240x240
FLAIR magnetic resonance.
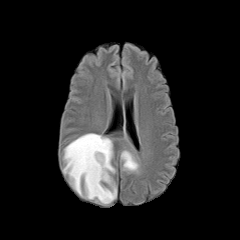
T1-weighted MR image.
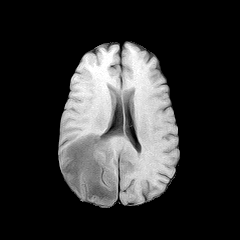
Post-contrast T1-weighted MR.
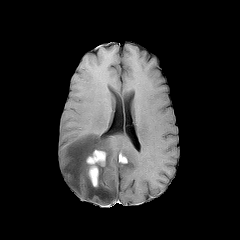
T2-weighted MRI.
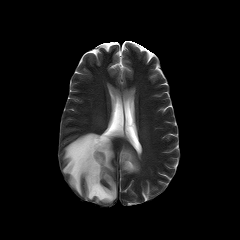
Annotated regions:
• enhancing tumor: [86,150,105,186], [119,154,127,163]
• peritumoral edema: [121,150,139,172], [63,133,116,203]